Axial view. Head.
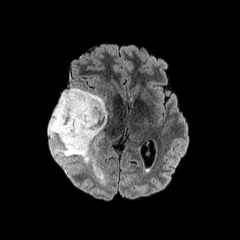
FLAIR MR.
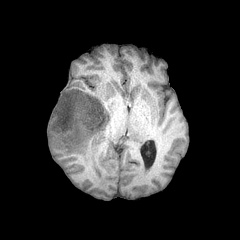
Same slice, T1-weighted magnetic resonance.
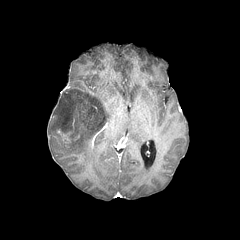
Post-contrast T1-weighted MR image.
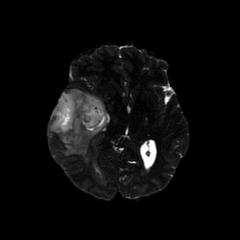
T2-weighted MR.
<segmentation>
  <peritumoral_edema>48,87,107,163</peritumoral_edema>
  <enhancing_tumor>56,129,79,143</enhancing_tumor>
</segmentation>